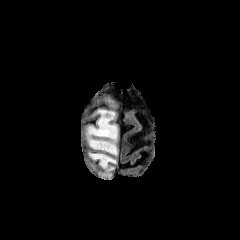
FLAIR MRI.
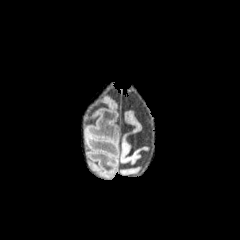
T1-weighted magnetic resonance.
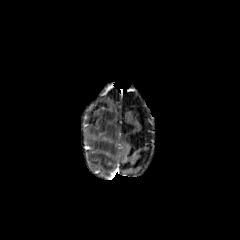
Same slice, post-contrast T1-weighted MRI.
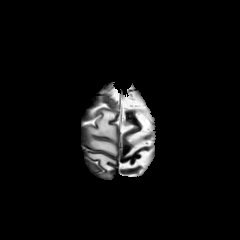
T2-weighted MR image of the same slice.
Axial slice | 240x240
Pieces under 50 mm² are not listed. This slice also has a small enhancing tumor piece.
Segmented structures:
- peritumoral edema: left=87, top=110, right=117, bottom=155; left=89, top=153, right=116, bottom=176